FLAIR MRI.
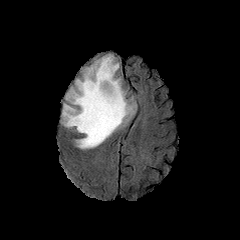
T1-weighted MRI.
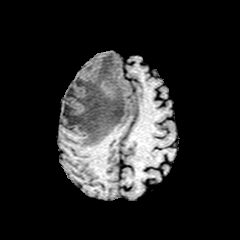
Post-contrast T1-weighted MR image.
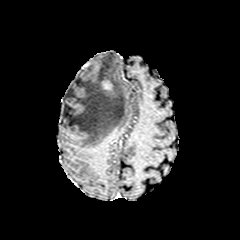
T2-weighted MR.
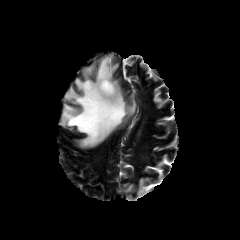
240x240 px; Axial plane
peritumoral edema: bbox=[62, 54, 136, 148] | enhancing tumor: bbox=[102, 81, 111, 90]